Head. Axial slice. Slice 69/155.
FLAIR magnetic resonance.
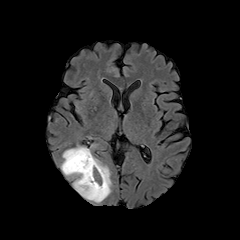
T1-weighted MR image.
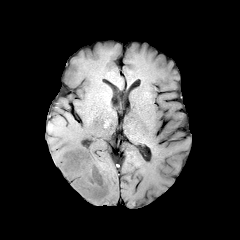
Post-contrast T1-weighted MR.
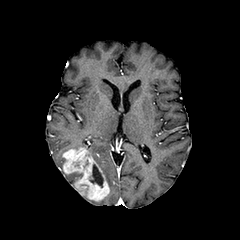
T2-weighted MR.
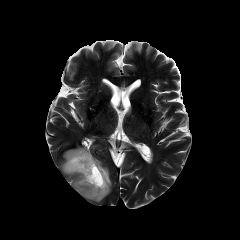
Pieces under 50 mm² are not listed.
Segmented structures:
• necrotic tumor core: rect(90, 164, 103, 187)
• enhancing tumor: rect(63, 148, 109, 201)
• peritumoral edema: rect(65, 172, 82, 184); rect(88, 148, 111, 192)